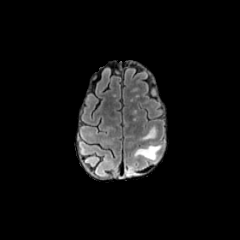
FLAIR MR image.
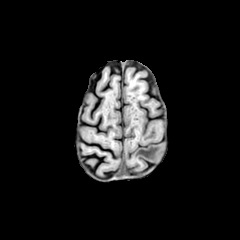
Same slice, T1-weighted MRI.
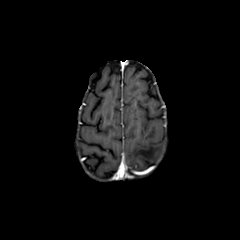
Post-contrast T1-weighted MRI.
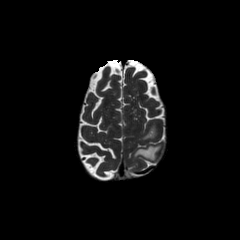
T2-weighted MR image of the same slice.
peritumoral edema: [x1=141, y1=126, x2=156, y2=139], [x1=134, y1=145, x2=162, y2=160]